Axial slice, Slice index 127, Head
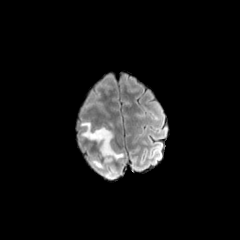
FLAIR MR image.
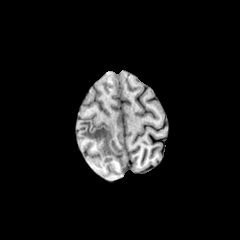
Same slice, T1-weighted magnetic resonance.
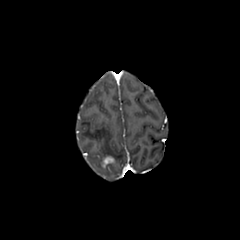
Post-contrast T1-weighted MR image.
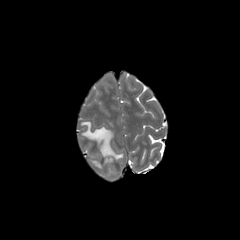
Same slice, T2-weighted MR image.
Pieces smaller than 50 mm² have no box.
• peritumoral edema: [90,159,117,177], [80,121,123,160]
• enhancing tumor: [101,156,114,167]